FLAIR MR image.
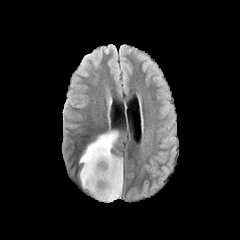
T1-weighted MRI.
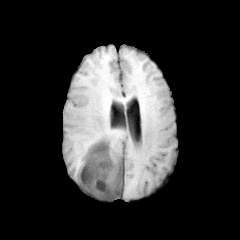
Post-contrast T1-weighted magnetic resonance.
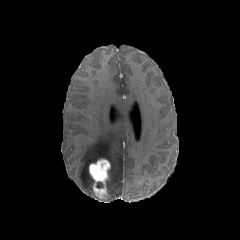
T2-weighted MRI.
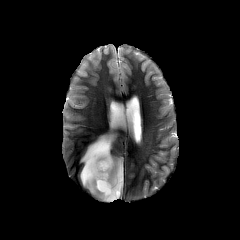
Image size 240x240, Axial plane
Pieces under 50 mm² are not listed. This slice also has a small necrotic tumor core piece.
* peritumoral edema: x1=80, y1=131, x2=122, y2=201
* enhancing tumor: x1=89, y1=158, x2=110, y2=200